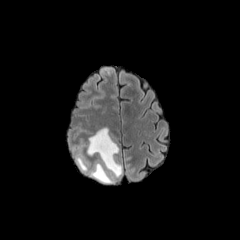
FLAIR MR image.
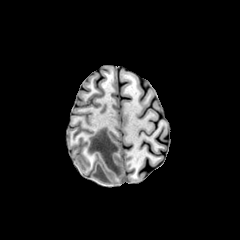
Same slice, T1-weighted MRI.
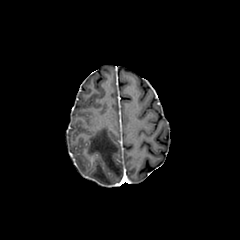
Post-contrast T1-weighted MR image.
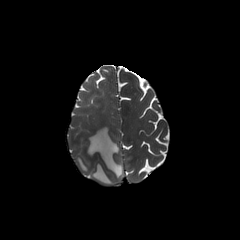
T2-weighted magnetic resonance of the same slice.
Axial view
peritumoral_edema:
  - <bbox>89, 162, 114, 183</bbox>
  - <bbox>87, 127, 122, 177</bbox>
  - <bbox>76, 156, 87, 171</bbox>